Slice 122/155, Head, Image size 240x240
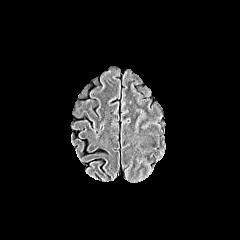
FLAIR MRI.
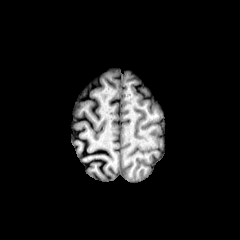
Same slice, T1-weighted magnetic resonance.
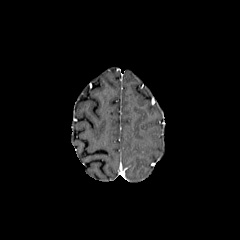
Post-contrast T1-weighted magnetic resonance.
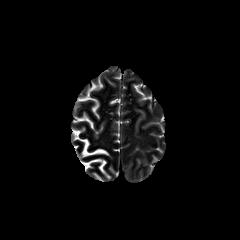
Same slice, T2-weighted magnetic resonance.
<segmentation>
  <peritumoral_edema>bbox(135, 109, 150, 131)</peritumoral_edema>
</segmentation>